FLAIR magnetic resonance.
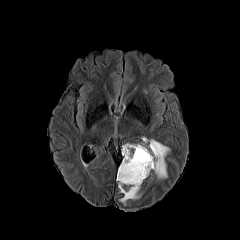
T1-weighted MR image.
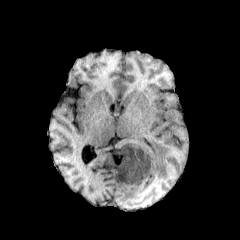
Post-contrast T1-weighted MR image.
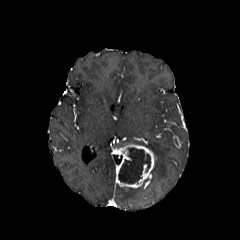
T2-weighted MRI.
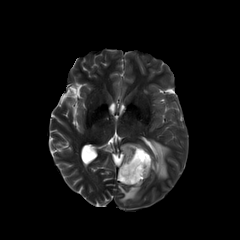
Axial slice
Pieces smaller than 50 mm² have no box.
enhancing_tumor:
  - 116,143,156,188
necrotic_tumor_core:
  - 118,148,150,183
peritumoral_edema:
  - 118,185,140,204
  - 149,139,169,178